Slice index 39, Axial view, Image covers 240 mm x 240 mm
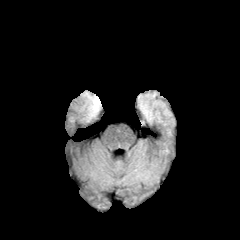
FLAIR MR image.
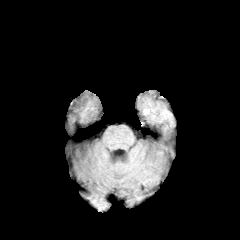
T1-weighted MR image.
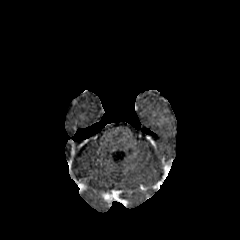
Post-contrast T1-weighted MR image.
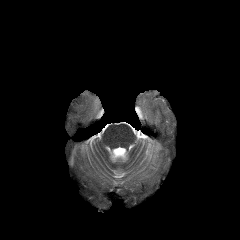
Same slice, T2-weighted MR image.
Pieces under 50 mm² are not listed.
peritumoral edema — (x1=86, y1=93, x2=100, y2=119)